FLAIR magnetic resonance.
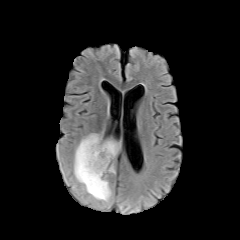
T1-weighted magnetic resonance.
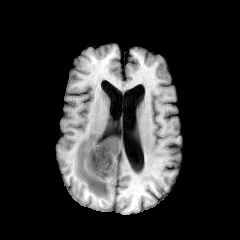
Post-contrast T1-weighted MRI.
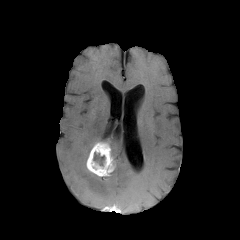
T2-weighted MRI.
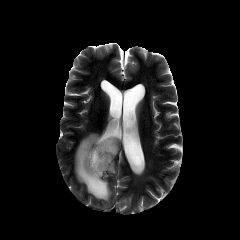
Brain
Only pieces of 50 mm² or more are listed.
peritumoral edema: [73, 133, 120, 207]
necrotic tumor core: [93, 153, 104, 165]
enhancing tumor: [86, 140, 114, 176]